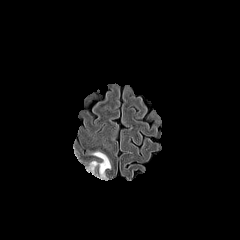
FLAIR magnetic resonance.
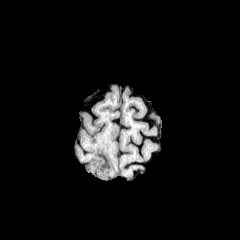
T1-weighted magnetic resonance.
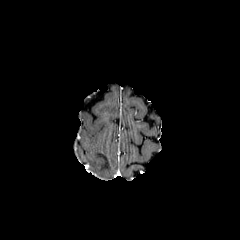
Post-contrast T1-weighted magnetic resonance of the same slice.
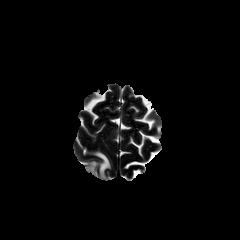
T2-weighted magnetic resonance.
240x240; Axial plane
peritumoral_edema:
  - x1=89 y1=152 x2=110 y2=178